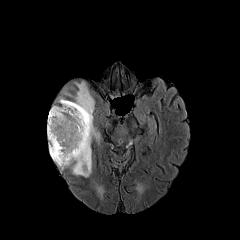
FLAIR magnetic resonance.
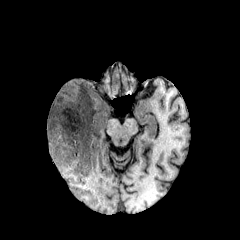
T1-weighted MR image.
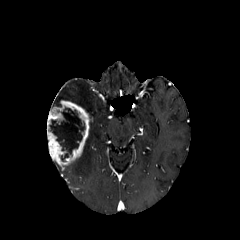
Post-contrast T1-weighted magnetic resonance.
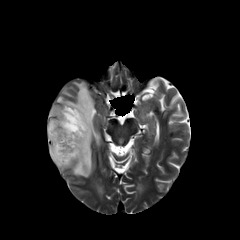
T2-weighted MRI of the same slice.
Brain | Image size 240x240
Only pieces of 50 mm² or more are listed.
enhancing tumor: [47, 100, 92, 168] | necrotic tumor core: [48, 108, 85, 161] | peritumoral edema: [96, 185, 103, 195], [62, 82, 99, 177]